240x240 | Image width 240 mm | Brain
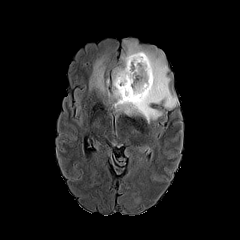
FLAIR magnetic resonance.
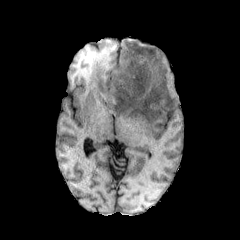
T1-weighted MRI.
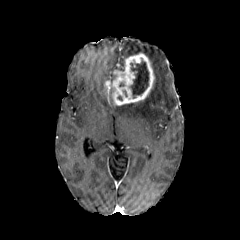
Post-contrast T1-weighted MR image.
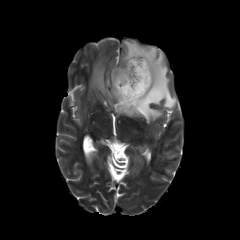
T2-weighted MR image.
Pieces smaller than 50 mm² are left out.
peritumoral edema = [88,39,178,123]
enhancing tumor = [104,52,154,105]
necrotic tumor core = [130,59,149,98]